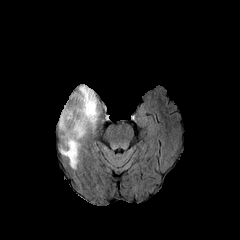
FLAIR MR image.
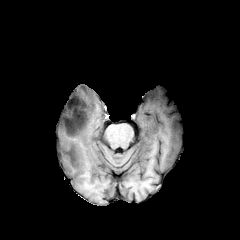
T1-weighted MRI.
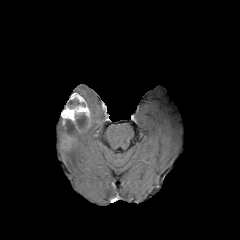
Post-contrast T1-weighted MR of the same slice.
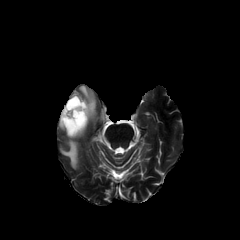
T2-weighted MR image.
Axial plane.
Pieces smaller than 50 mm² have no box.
The enhancing tumor appears at rect(61, 92, 90, 137). 2 peritumoral edema regions are bounded by rect(77, 84, 99, 129); rect(58, 115, 87, 169). The 3 largest necrotic tumor core regions are located at rect(68, 99, 79, 105); rect(66, 119, 76, 136); rect(76, 114, 87, 129).